240x240; Image width 240 mm, 1.00 mm slice spacing
FLAIR magnetic resonance.
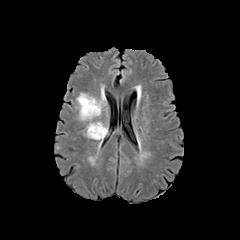
T1-weighted MR.
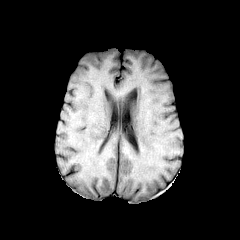
Post-contrast T1-weighted magnetic resonance.
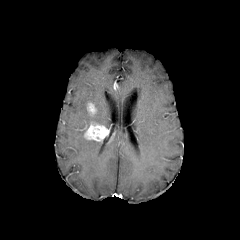
T2-weighted MR image.
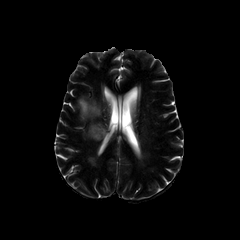
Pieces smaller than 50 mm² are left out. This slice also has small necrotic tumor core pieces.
Findings:
- enhancing tumor: box(87, 102, 96, 114); box(85, 123, 108, 141)
- peritumoral edema: box(77, 93, 105, 120)